FLAIR magnetic resonance.
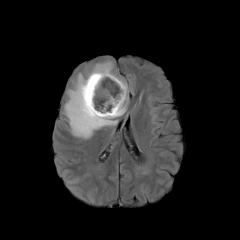
T1-weighted MRI.
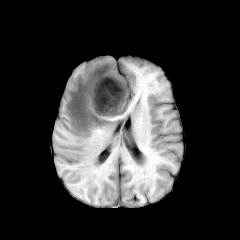
Post-contrast T1-weighted MRI.
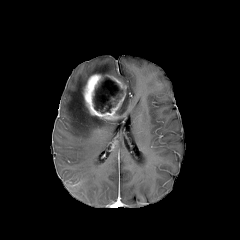
T2-weighted magnetic resonance.
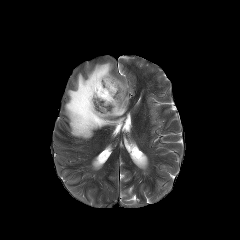
Image size 240x240; Axial slice
Annotated regions:
- enhancing tumor: 83,74,126,119
- peritumoral edema: 64,58,129,139
- necrotic tumor core: 93,77,121,112